Image covers 240 mm x 240 mm, Slice 50/155, Head
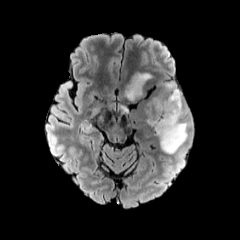
FLAIR magnetic resonance.
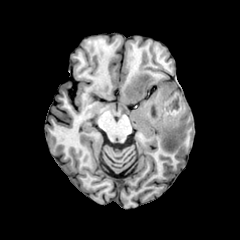
T1-weighted MRI.
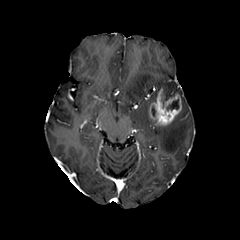
Post-contrast T1-weighted magnetic resonance of the same slice.
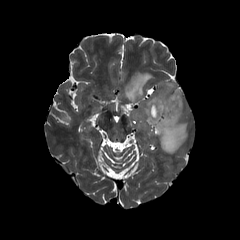
T2-weighted magnetic resonance of the same slice.
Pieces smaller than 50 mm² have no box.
peritumoral edema: {"x1": 163, "y1": 82, "x2": 181, "y2": 98}, {"x1": 147, "y1": 101, "x2": 189, "y2": 153}, {"x1": 125, "y1": 72, "x2": 151, "y2": 101}
enhancing tumor: {"x1": 148, "y1": 88, "x2": 181, "y2": 125}
necrotic tumor core: {"x1": 167, "y1": 99, "x2": 179, "y2": 110}